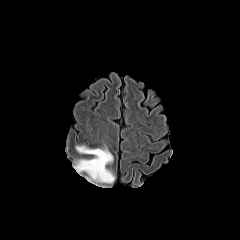
FLAIR MR image.
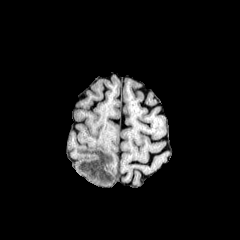
T1-weighted MRI.
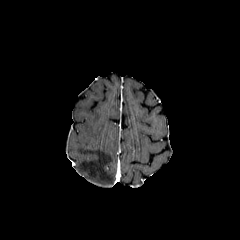
Post-contrast T1-weighted MR.
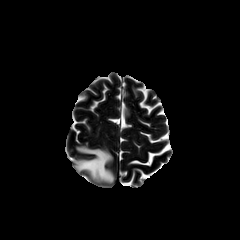
T2-weighted MRI of the same slice.
Axial view | 240x240 px | Head
Segmented structures:
- peritumoral edema: {"x1": 75, "y1": 146, "x2": 114, "y2": 183}